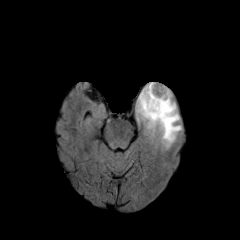
FLAIR MR.
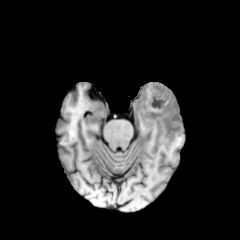
T1-weighted MR.
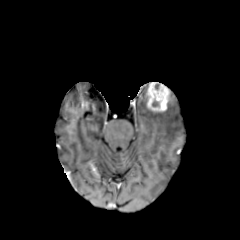
Post-contrast T1-weighted MRI.
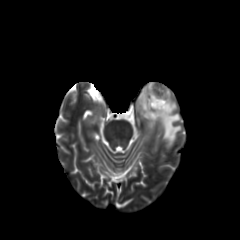
T2-weighted MR image of the same slice.
Brain | 240x240
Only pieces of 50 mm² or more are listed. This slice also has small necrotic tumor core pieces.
The peritumoral edema lies within [x1=135, y1=83, x2=181, y2=143]. The enhancing tumor is bounded by [x1=146, y1=82, x2=170, y2=111].